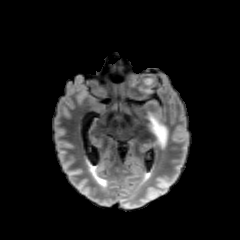
FLAIR MR.
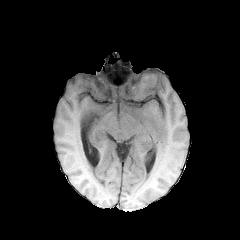
T1-weighted MR image.
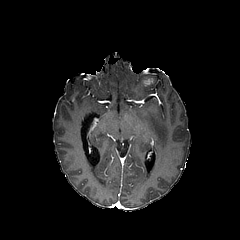
Same slice, post-contrast T1-weighted MRI.
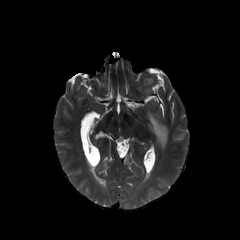
T2-weighted magnetic resonance.
Head | Axial plane
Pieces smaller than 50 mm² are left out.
peritumoral edema: bounding box [x1=147, y1=113, x2=167, y2=148]
enhancing tumor: bounding box [x1=143, y1=78, x2=152, y2=85]